Image width 240 mm, 1.00 mm slice spacing
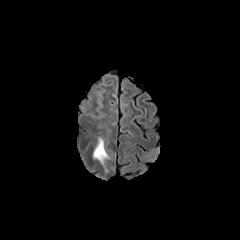
FLAIR MRI.
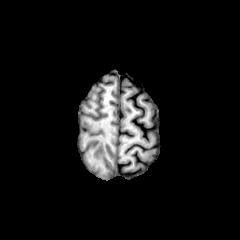
Same slice, T1-weighted MR image.
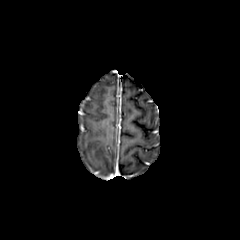
Post-contrast T1-weighted MR image.
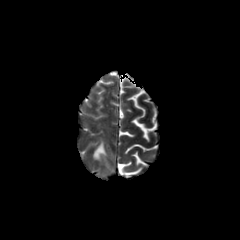
T2-weighted MR image.
• peritumoral edema: l=93, t=138, r=107, b=163